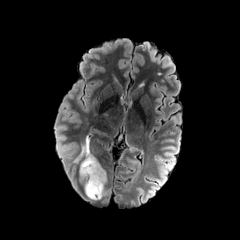
FLAIR MR image.
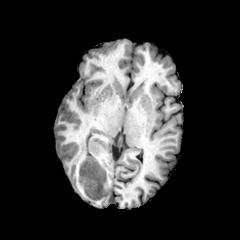
Same slice, T1-weighted magnetic resonance.
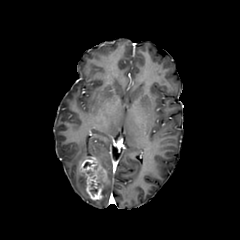
Post-contrast T1-weighted magnetic resonance.
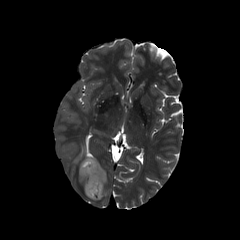
T2-weighted magnetic resonance.
Axial slice
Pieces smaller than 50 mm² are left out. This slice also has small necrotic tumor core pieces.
enhancing_tumor:
  - box=[80, 156, 106, 200]
peritumoral_edema:
  - box=[102, 178, 107, 197]
  - box=[74, 134, 92, 162]
  - box=[79, 170, 89, 198]